Head
FLAIR magnetic resonance.
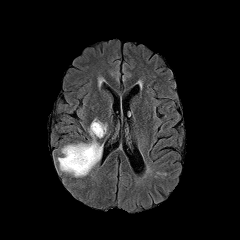
T1-weighted MR.
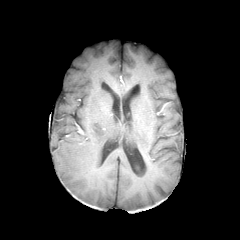
Post-contrast T1-weighted magnetic resonance.
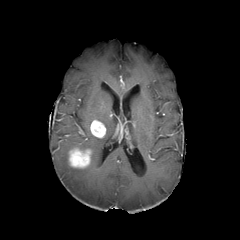
T2-weighted MR.
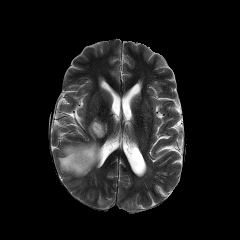
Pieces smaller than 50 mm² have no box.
enhancing tumor: left=68, top=148, right=91, bottom=168; left=90, top=120, right=105, bottom=137 | peritumoral edema: left=57, top=127, right=103, bottom=177